FLAIR MRI.
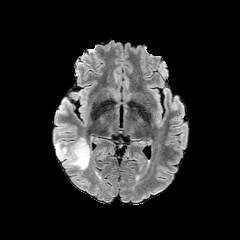
T1-weighted MR image.
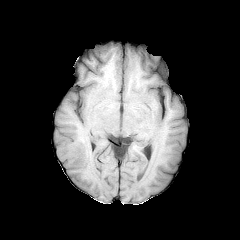
Post-contrast T1-weighted MRI.
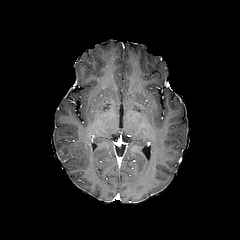
T2-weighted magnetic resonance.
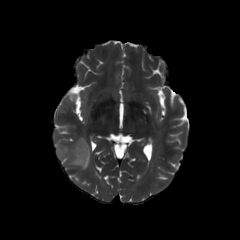
Axial view
The peritumoral edema lies within (55,138,91,169).